FLAIR MRI.
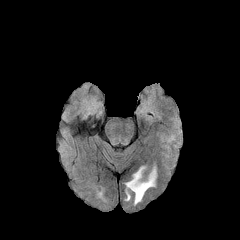
T1-weighted magnetic resonance.
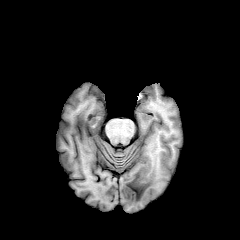
Post-contrast T1-weighted MRI.
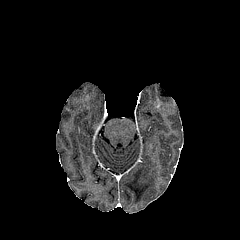
T2-weighted MR image.
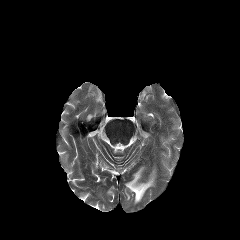
Axial view | Head
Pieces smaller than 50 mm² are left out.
peritumoral edema at 125:167:156:204